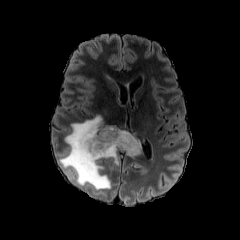
FLAIR MR image.
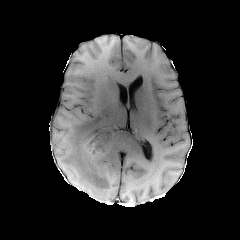
Same slice, T1-weighted magnetic resonance.
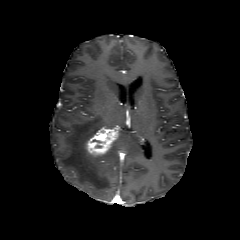
Post-contrast T1-weighted magnetic resonance.
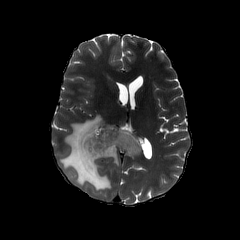
Same slice, T2-weighted MR image.
Brain; 240x240 px
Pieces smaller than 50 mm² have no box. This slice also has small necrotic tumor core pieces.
enhancing tumor: bounding box 85,126,119,156
peritumoral edema: bounding box 59,115,140,190